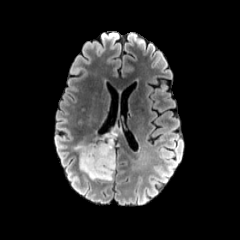
FLAIR magnetic resonance.
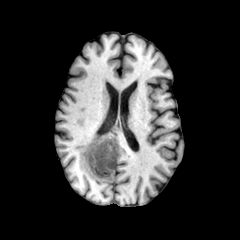
T1-weighted magnetic resonance.
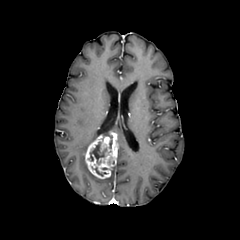
Same slice, post-contrast T1-weighted magnetic resonance.
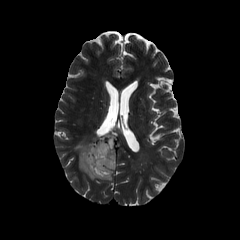
T2-weighted MRI.
Image size 240x240. Axial slice.
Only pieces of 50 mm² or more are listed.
necrotic tumor core: l=90, t=142, r=106, b=162
peritumoral edema: l=99, t=166, r=115, b=180; l=75, t=143, r=98, b=179
enhancing tumor: l=83, t=130, r=117, b=178